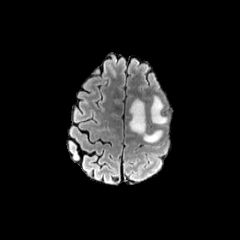
FLAIR MR image.
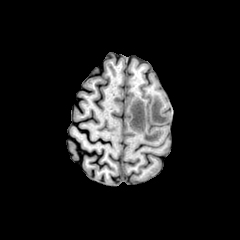
Same slice, T1-weighted MR.
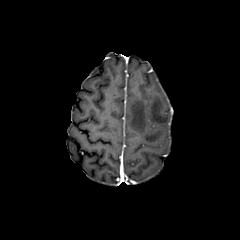
Same slice, post-contrast T1-weighted magnetic resonance.
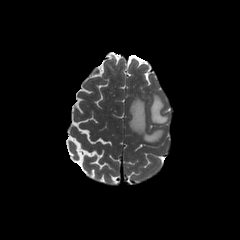
Same slice, T2-weighted MRI.
240x240. Axial view. Brain.
Findings:
• peritumoral edema: [x1=129, y1=99, x2=162, y2=142], [x1=150, y1=95, x2=167, y2=124]